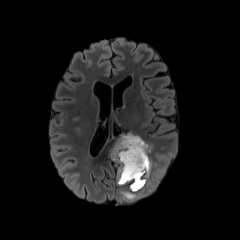
FLAIR MR image.
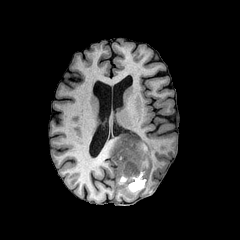
T1-weighted MR.
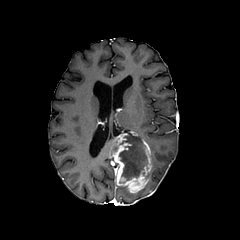
Same slice, post-contrast T1-weighted magnetic resonance.
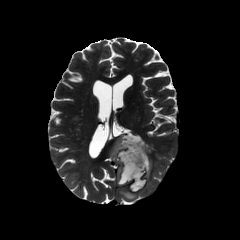
Same slice, T2-weighted magnetic resonance.
Axial view
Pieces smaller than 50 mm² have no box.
enhancing tumor = rect(109, 132, 152, 192)
peritumoral edema = rect(145, 171, 159, 190); rect(120, 189, 136, 199)
necrotic tumor core = rect(119, 134, 147, 180)